Slice index 55. Head. Image width 240 mm, 1.00 mm slice spacing.
FLAIR MRI.
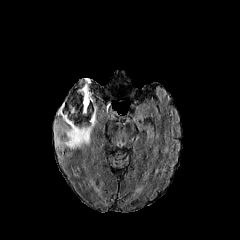
T1-weighted MRI.
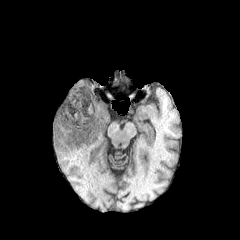
Post-contrast T1-weighted MRI.
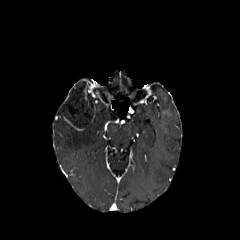
T2-weighted MR image.
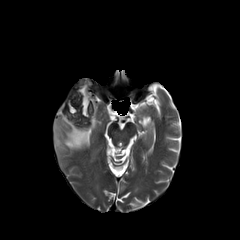
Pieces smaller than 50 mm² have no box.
The largest enhancing tumor region is located at [x1=63, y1=116, x2=85, y2=130]. 2 peritumoral edema regions are bounded by [x1=54, y1=107, x2=96, y2=149], [x1=58, y1=105, x2=67, y2=123]. The necrotic tumor core is bounded by [x1=63, y1=81, x2=95, y2=128].